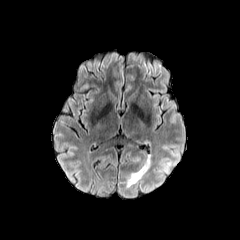
FLAIR MRI.
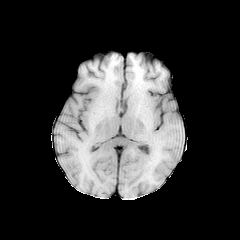
Same slice, T1-weighted MR.
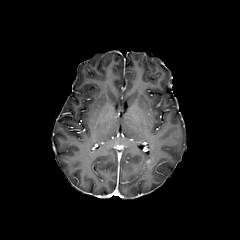
Post-contrast T1-weighted MR of the same slice.
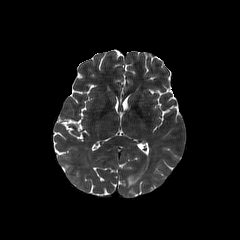
T2-weighted MRI of the same slice.
Head
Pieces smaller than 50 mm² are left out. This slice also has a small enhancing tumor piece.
<segmentation>
  <peritumoral_edema>bbox=[127, 155, 150, 187]</peritumoral_edema>
</segmentation>